Slice 57 of 155; Image size 240x240; Axial view
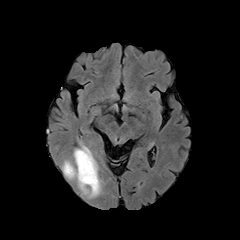
FLAIR magnetic resonance.
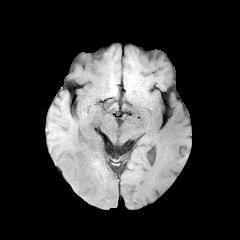
T1-weighted MR image of the same slice.
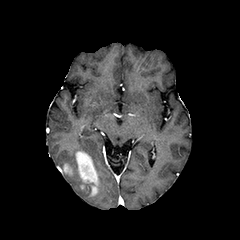
Post-contrast T1-weighted MR.
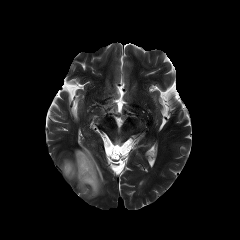
T2-weighted MR.
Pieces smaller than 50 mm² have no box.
<segmentation>
  <enhancing_tumor>(left=75, top=151, right=99, bottom=195), (left=63, top=163, right=73, bottom=175)</enhancing_tumor>
  <peritumoral_edema>(left=62, top=144, right=103, bottom=198)</peritumoral_edema>
</segmentation>